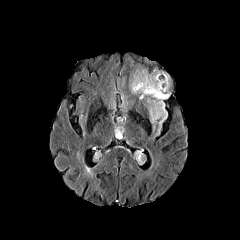
FLAIR MRI.
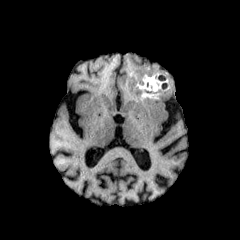
Same slice, T1-weighted magnetic resonance.
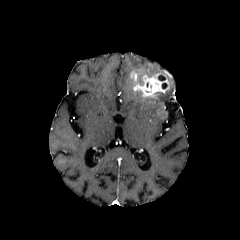
Post-contrast T1-weighted MR.
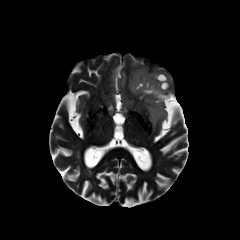
Same slice, T2-weighted MR.
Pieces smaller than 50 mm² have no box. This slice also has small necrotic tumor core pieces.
The enhancing tumor lies within [130,69,170,97]. The 2 largest peritumoral edema regions are bounded by [138,68,163,76], [130,78,170,133].